FLAIR magnetic resonance.
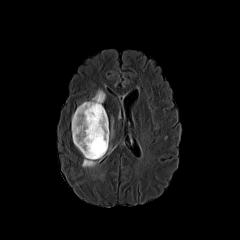
T1-weighted MR image.
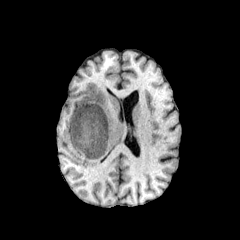
Post-contrast T1-weighted MR.
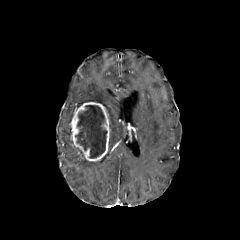
T2-weighted MR image.
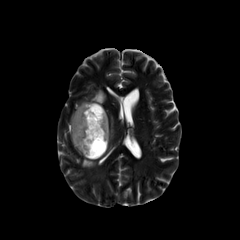
Head, 240x240
3 peritumoral edema regions are bounded by region(82, 157, 99, 167); region(110, 119, 113, 138); region(88, 89, 105, 103). The necrotic tumor core lies within region(75, 105, 106, 158). The enhancing tumor is at region(71, 102, 109, 161).